240x240 | Slice 91 of 155
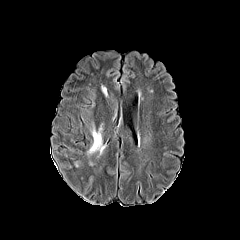
FLAIR MR image.
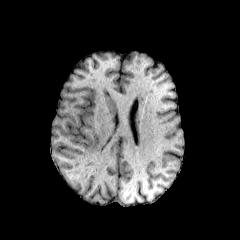
T1-weighted magnetic resonance.
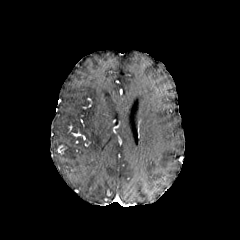
Post-contrast T1-weighted MR image.
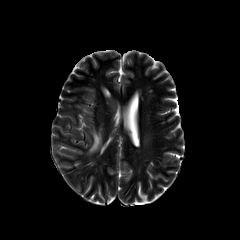
Same slice, T2-weighted MRI.
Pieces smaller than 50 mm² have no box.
peritumoral edema: [87,127,105,154]